Image width 240 mm, 1.00 mm slice spacing, Slice 50/155, 240x240 px, Brain
FLAIR MR image.
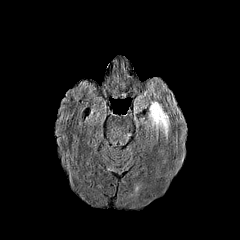
T1-weighted MR.
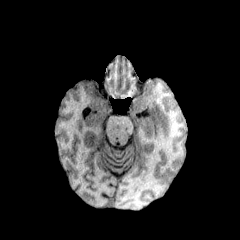
Post-contrast T1-weighted MRI.
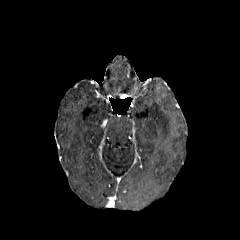
T2-weighted magnetic resonance.
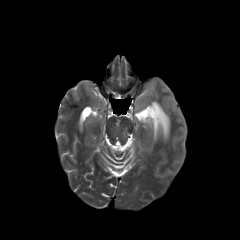
{
  "peritumoral_edema": [
    "(x1=149, y1=101, x2=169, y2=138)"
  ]
}